FLAIR MR image.
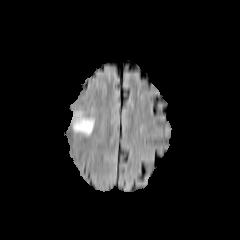
T1-weighted MR image.
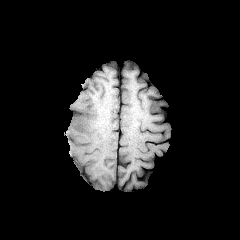
Post-contrast T1-weighted MRI.
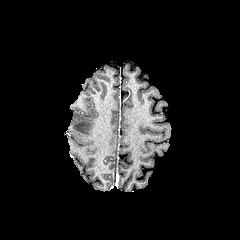
T2-weighted magnetic resonance.
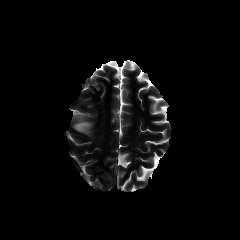
Brain. Axial view.
peritumoral edema: bounding box <box>73,113,93,134</box>